FLAIR MRI.
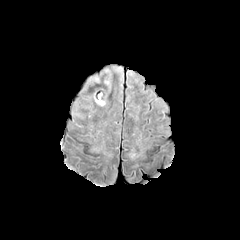
T1-weighted magnetic resonance.
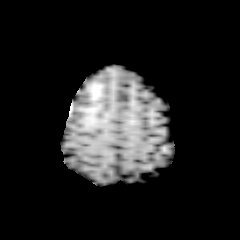
Post-contrast T1-weighted MR.
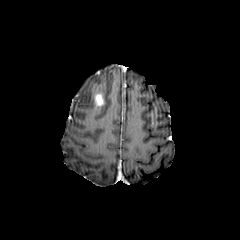
T2-weighted MRI.
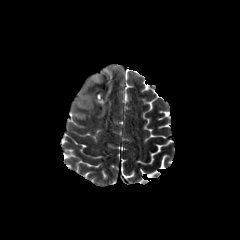
Head, Axial plane
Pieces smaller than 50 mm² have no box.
<segmentation>
  <enhancing_tumor>(89, 89, 106, 105)</enhancing_tumor>
</segmentation>